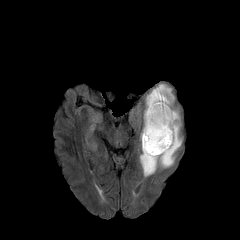
FLAIR MRI.
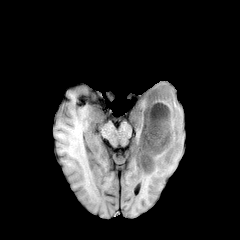
T1-weighted magnetic resonance of the same slice.
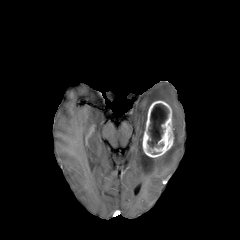
Post-contrast T1-weighted MR.
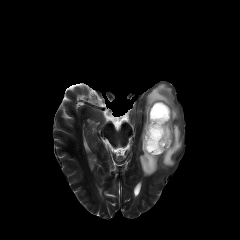
T2-weighted MR.
Image size 240x240, Head, Axial slice
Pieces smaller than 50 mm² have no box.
peritumoral_edema:
  - box(139, 83, 182, 176)
necrotic_tumor_core:
  - box(147, 104, 168, 148)
enhancing_tumor:
  - box(142, 100, 173, 157)